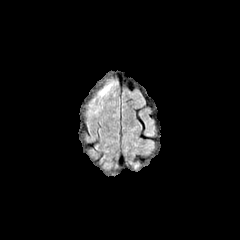
FLAIR MR.
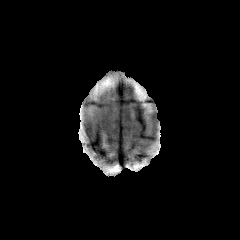
T1-weighted MR.
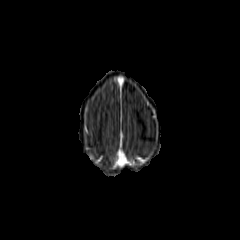
Post-contrast T1-weighted MRI.
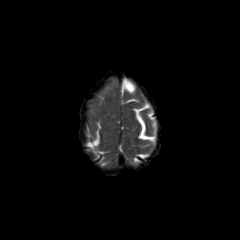
Same slice, T2-weighted MR.
Axial plane
The peritumoral edema is located at (left=99, top=83, right=112, bottom=94).